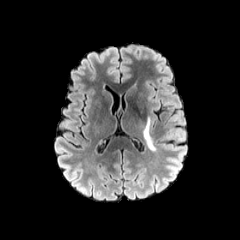
FLAIR MR.
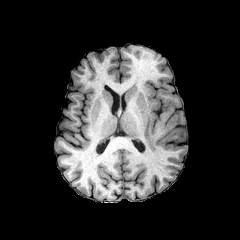
Same slice, T1-weighted magnetic resonance.
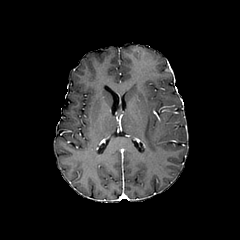
Post-contrast T1-weighted magnetic resonance.
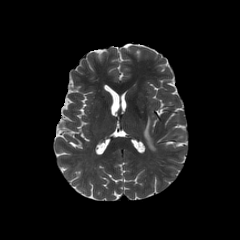
T2-weighted magnetic resonance of the same slice.
Head
peritumoral edema: bounding box x1=142, y1=117, x2=156, y2=150